FLAIR magnetic resonance.
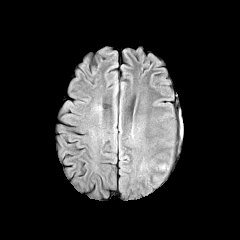
T1-weighted MR image.
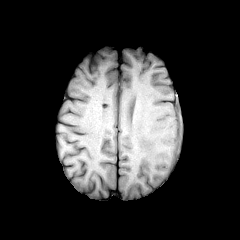
Post-contrast T1-weighted MR image.
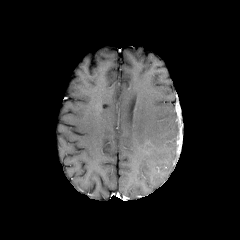
T2-weighted MRI.
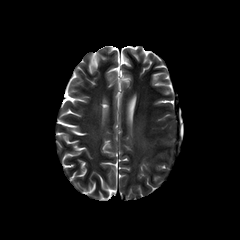
Brain, Axial slice
The peritumoral edema appears at 155,163,169,172.